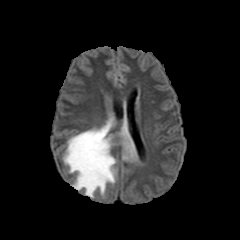
FLAIR magnetic resonance.
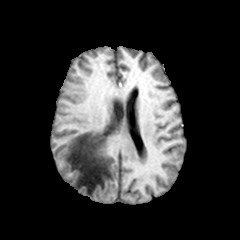
Same slice, T1-weighted MRI.
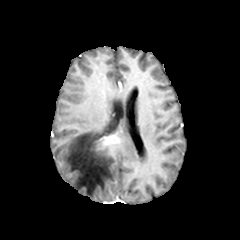
Post-contrast T1-weighted MR of the same slice.
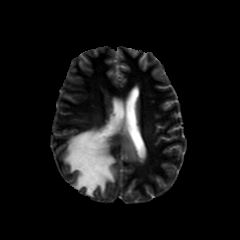
T2-weighted MRI of the same slice.
Brain. 240x240 px.
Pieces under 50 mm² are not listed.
enhancing tumor at bbox=[96, 136, 114, 150]
peritumoral edema at bbox=[118, 128, 137, 161]; bbox=[63, 118, 116, 197]